FLAIR MR image.
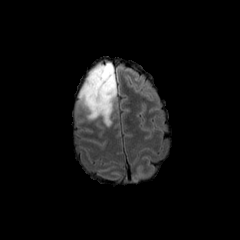
T1-weighted MR.
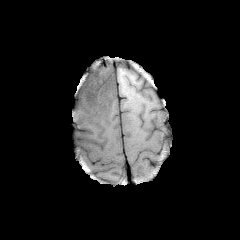
Post-contrast T1-weighted MR image.
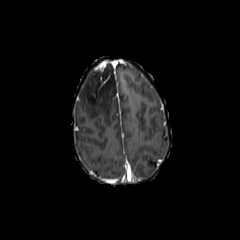
T2-weighted MR.
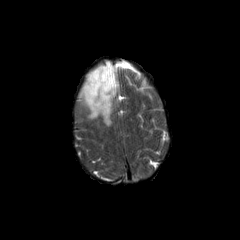
Brain. Image size 240x240.
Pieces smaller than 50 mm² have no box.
enhancing_tumor:
  - [94,63,103,71]
peritumoral_edema:
  - [78,62,116,126]